FLAIR magnetic resonance.
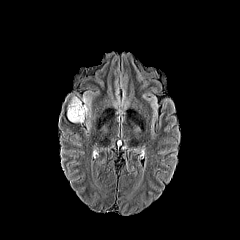
T1-weighted MR image.
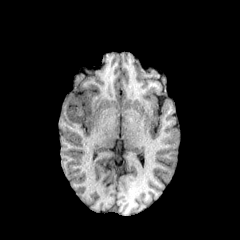
Post-contrast T1-weighted MRI.
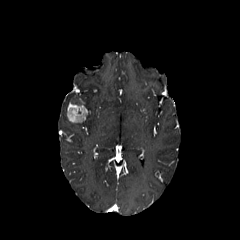
T2-weighted MR image.
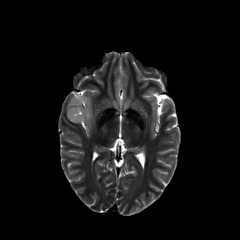
Axial plane
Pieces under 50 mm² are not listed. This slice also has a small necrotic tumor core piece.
The enhancing tumor is bounded by [x1=67, y1=104, x2=87, y2=122]. The 2 largest peritumoral edema regions are bounded by [x1=82, y1=96, x2=90, y2=108], [x1=72, y1=97, x2=81, y2=104].